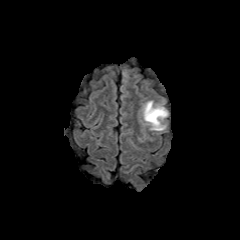
FLAIR MRI.
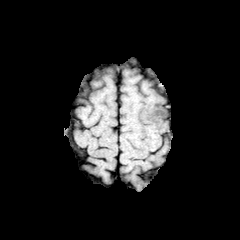
T1-weighted MR image.
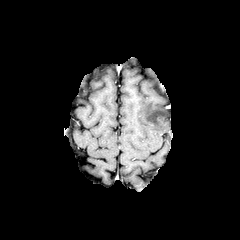
Post-contrast T1-weighted MR image.
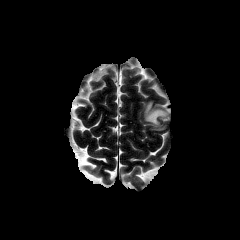
Same slice, T2-weighted magnetic resonance.
peritumoral edema: left=142, top=101, right=168, bottom=130